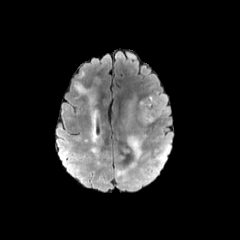
FLAIR MR.
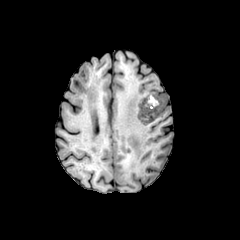
T1-weighted MRI of the same slice.
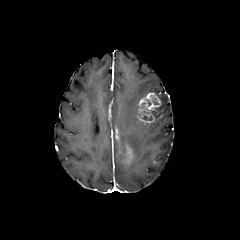
Post-contrast T1-weighted magnetic resonance.
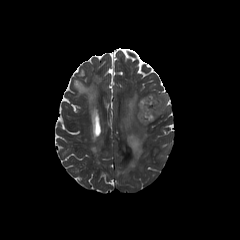
T2-weighted MR image.
Brain
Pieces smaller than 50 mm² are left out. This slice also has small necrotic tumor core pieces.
<segmentation>
  <peritumoral_edema>(left=116, top=123, right=147, bottom=181), (left=153, top=144, right=169, bottom=162), (left=156, top=93, right=169, bottom=118)</peritumoral_edema>
  <enhancing_tumor>(left=137, top=92, right=161, bottom=124), (left=127, top=147, right=132, bottom=163)</enhancing_tumor>
</segmentation>